FLAIR MRI.
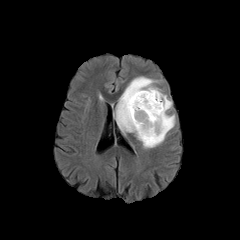
T1-weighted MRI.
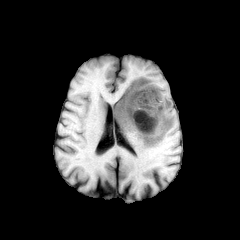
Post-contrast T1-weighted MRI.
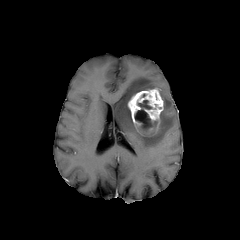
T2-weighted MR image.
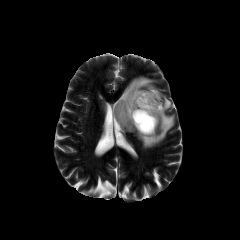
Image size 240x240
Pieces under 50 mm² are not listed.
peritumoral edema = 114 76 175 148
necrotic tumor core = 134 100 156 131
enhancing tumor = 127 88 163 135